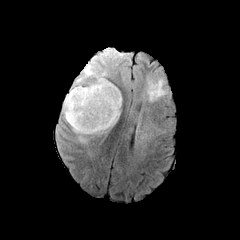
FLAIR MR.
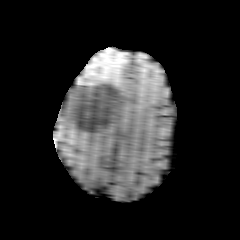
T1-weighted MR image.
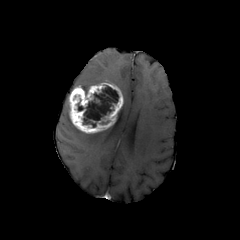
Post-contrast T1-weighted MR image of the same slice.
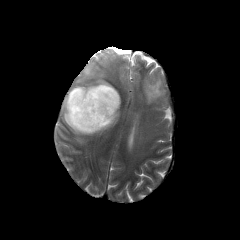
Same slice, T2-weighted MRI.
Head
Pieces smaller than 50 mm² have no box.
necrotic tumor core: 84 87 118 123 | peritumoral edema: 62 96 106 142, 73 62 105 92 | enhancing tumor: 67 81 123 133